Image width 240 mm, 1.00 mm slice spacing. Axial slice.
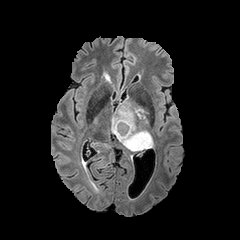
FLAIR magnetic resonance.
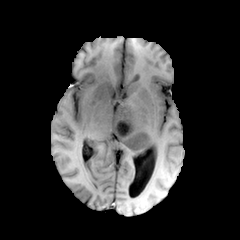
Same slice, T1-weighted MR.
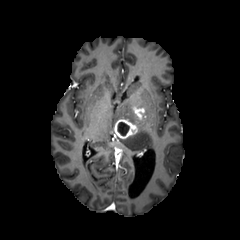
Post-contrast T1-weighted MR of the same slice.
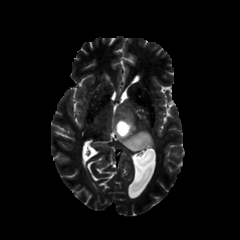
T2-weighted MR.
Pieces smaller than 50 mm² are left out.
<segmentation>
  <necrotic_tumor_core>region(117, 122, 129, 135)</necrotic_tumor_core>
  <peritumoral_edema>region(114, 100, 153, 150)</peritumoral_edema>
  <enhancing_tumor>region(114, 119, 136, 138); region(133, 108, 144, 119)</enhancing_tumor>
</segmentation>